FLAIR MRI.
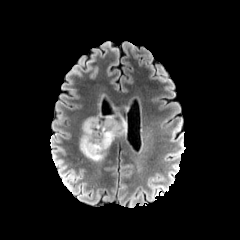
T1-weighted MR image.
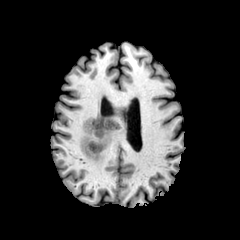
Post-contrast T1-weighted MRI.
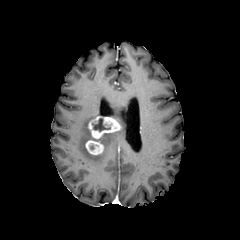
T2-weighted MR.
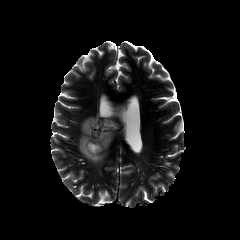
Head | 240x240 px
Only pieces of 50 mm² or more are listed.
Annotated regions:
* necrotic tumor core: <bbox>92, 118, 110, 131</bbox>
* peritumoral edema: <bbox>79, 117, 125, 161</bbox>
* enhancing tumor: <bbox>88, 116, 121, 138</bbox>, <bbox>85, 140, 104, 154</bbox>